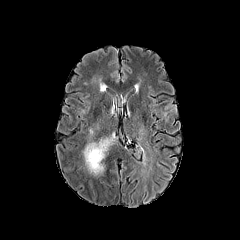
FLAIR magnetic resonance.
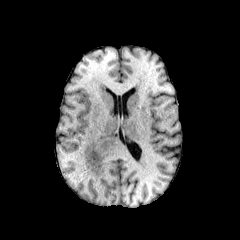
Same slice, T1-weighted magnetic resonance.
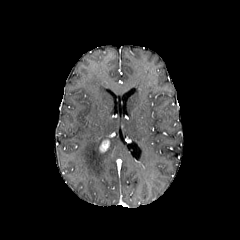
Post-contrast T1-weighted magnetic resonance of the same slice.
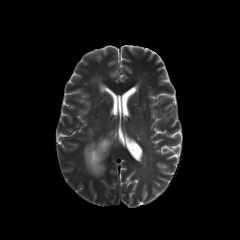
T2-weighted MRI.
Brain.
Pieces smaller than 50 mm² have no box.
{"enhancing_tumor": ["99, 139, 109, 152"], "peritumoral_edema": ["83, 139, 105, 176"]}